Axial plane
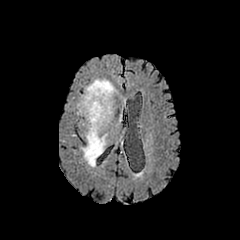
FLAIR MRI.
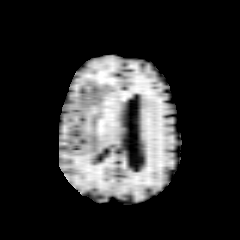
T1-weighted magnetic resonance.
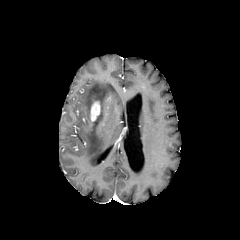
Post-contrast T1-weighted magnetic resonance.
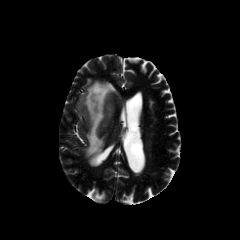
T2-weighted MRI of the same slice.
The enhancing tumor is bounded by bbox(90, 101, 100, 121). The peritumoral edema is bounded by bbox(77, 79, 118, 165).